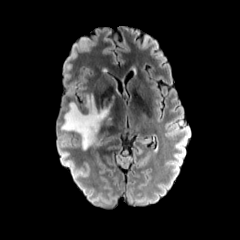
FLAIR magnetic resonance.
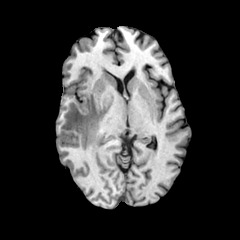
T1-weighted magnetic resonance.
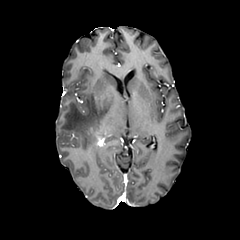
Same slice, post-contrast T1-weighted MR image.
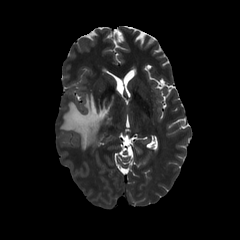
T2-weighted MR.
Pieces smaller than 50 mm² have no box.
enhancing tumor = box(90, 128, 104, 146)
peritumoral edema = box(60, 94, 114, 149)